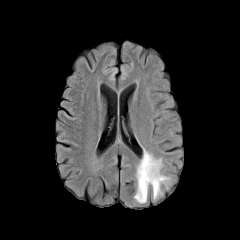
FLAIR MRI.
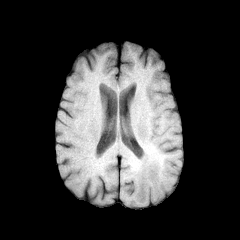
T1-weighted MRI.
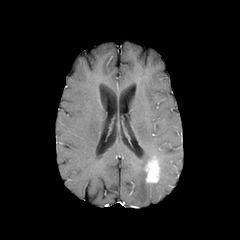
Same slice, post-contrast T1-weighted MR image.
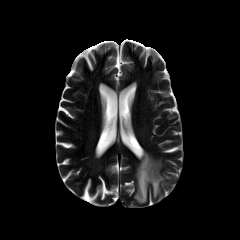
T2-weighted MR image.
Axial slice; 240x240 px
enhancing tumor: box(145, 158, 159, 182) | peritumoral edema: box(134, 149, 170, 203)